FLAIR MRI.
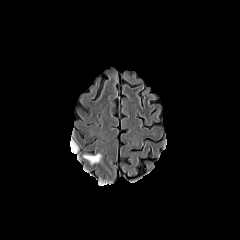
T1-weighted MR.
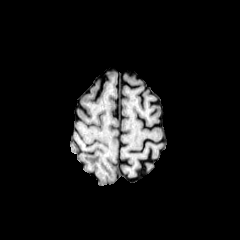
Post-contrast T1-weighted MR image.
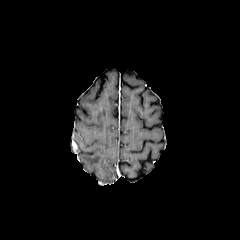
T2-weighted MR image.
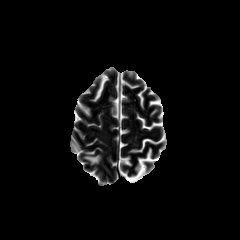
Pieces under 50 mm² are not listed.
Segmented structures:
• peritumoral edema: {"x1": 84, "y1": 154, "x2": 101, "y2": 164}